FLAIR MR image.
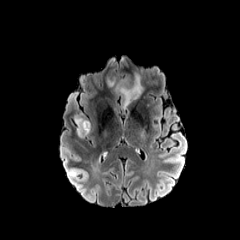
T1-weighted MRI.
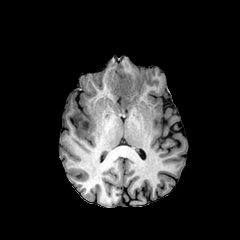
Post-contrast T1-weighted MR image.
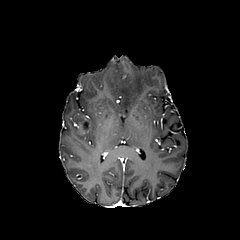
T2-weighted MR.
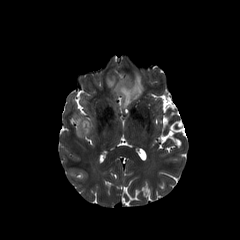
Axial plane | 240x240 px
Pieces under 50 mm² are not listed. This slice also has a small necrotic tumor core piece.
enhancing tumor: bounding box (75,116,90,134)
peritumoral edema: bounding box (115,74,143,108)